FLAIR MR.
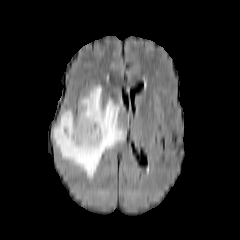
T1-weighted MR image.
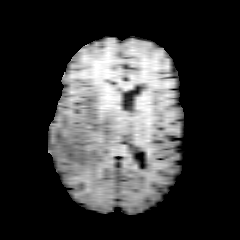
Post-contrast T1-weighted magnetic resonance.
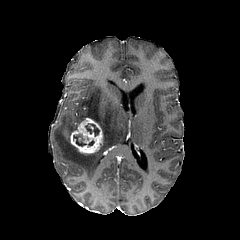
T2-weighted magnetic resonance.
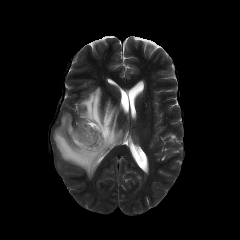
240x240; Axial plane
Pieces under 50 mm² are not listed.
necrotic tumor core: box=[85, 123, 99, 136]; box=[73, 135, 86, 146] | enhancing tumor: box=[70, 118, 103, 154] | peritumoral edema: box=[53, 86, 125, 178]